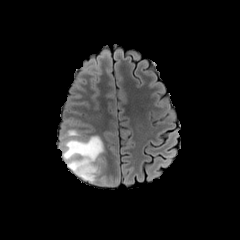
FLAIR MR image.
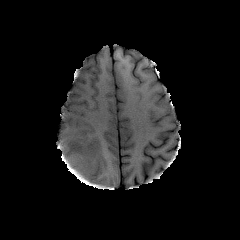
T1-weighted MRI.
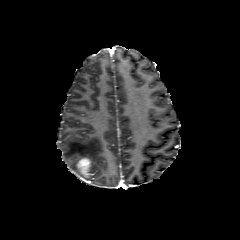
Post-contrast T1-weighted MR image.
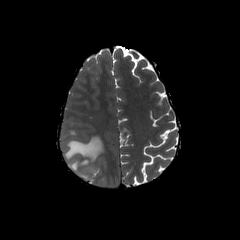
Same slice, T2-weighted magnetic resonance.
Axial slice
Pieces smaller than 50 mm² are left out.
peritumoral edema — bbox=[65, 129, 80, 136]; bbox=[61, 135, 104, 174]
enhancing tumor — bbox=[73, 157, 95, 181]